FLAIR magnetic resonance.
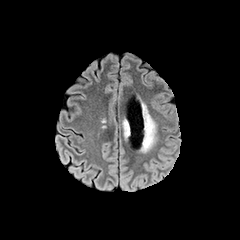
T1-weighted magnetic resonance.
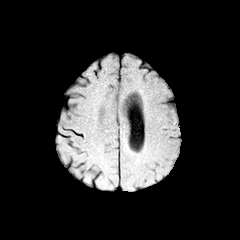
Post-contrast T1-weighted magnetic resonance.
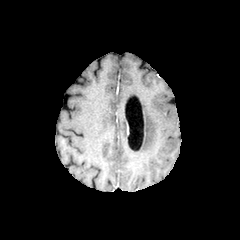
T2-weighted magnetic resonance.
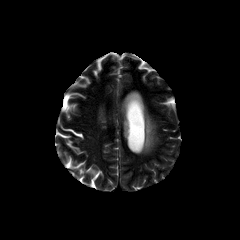
Brain. Axial view.
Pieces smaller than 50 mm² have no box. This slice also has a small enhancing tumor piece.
Findings:
- peritumoral edema: {"x1": 141, "y1": 103, "x2": 157, "y2": 152}, {"x1": 122, "y1": 119, "x2": 129, "y2": 139}